Head, Image width 240 mm, Axial slice
FLAIR MRI.
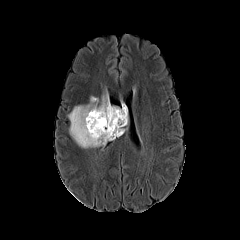
T1-weighted magnetic resonance.
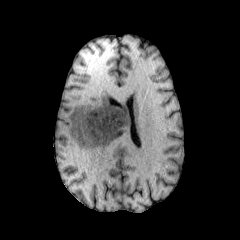
Post-contrast T1-weighted magnetic resonance.
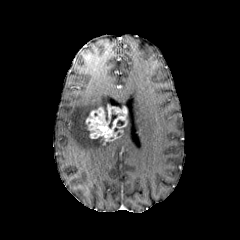
T2-weighted MR image.
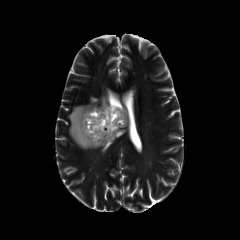
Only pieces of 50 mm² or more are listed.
The enhancing tumor lies within bbox=[85, 104, 127, 143]. The largest necrotic tumor core region appears at bbox=[109, 114, 117, 127]. The largest peritumoral edema region is bounded by bbox=[68, 93, 109, 148].